Slice 87 of 155 | Image size 240x240 | Brain
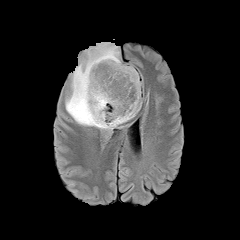
FLAIR MRI.
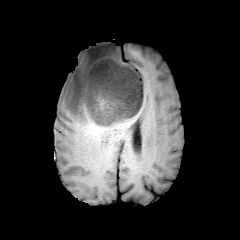
T1-weighted MRI.
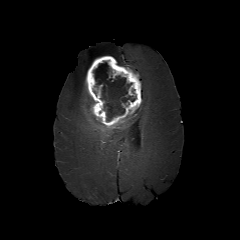
Post-contrast T1-weighted MR.
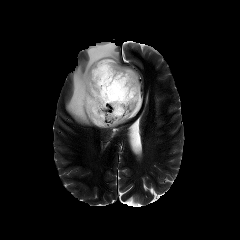
T2-weighted MRI.
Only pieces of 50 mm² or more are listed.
Findings:
• peritumoral edema: (x1=65, y1=42, x2=128, y2=130), (x1=124, y1=103, x2=141, y2=122)
• enhancing tumor: (x1=85, y1=56, x2=141, y2=128)
• necrotic tumor core: (x1=93, y1=61, x2=135, y2=121)